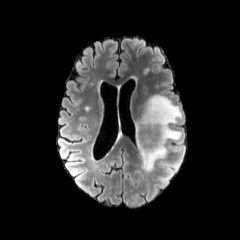
FLAIR magnetic resonance.
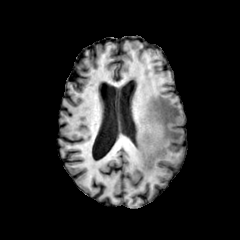
T1-weighted MR.
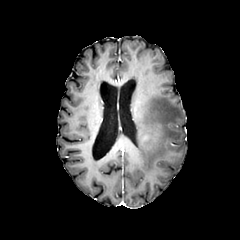
Post-contrast T1-weighted MRI of the same slice.
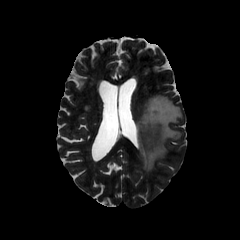
T2-weighted MRI.
Brain
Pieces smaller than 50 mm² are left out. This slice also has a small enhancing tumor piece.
Segmented structures:
• peritumoral edema: [x1=135, y1=95, x2=182, y2=171]